FLAIR MRI.
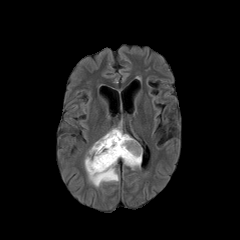
T1-weighted MR.
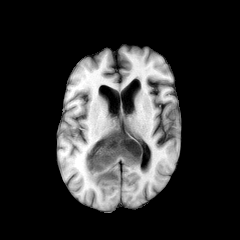
Post-contrast T1-weighted MR.
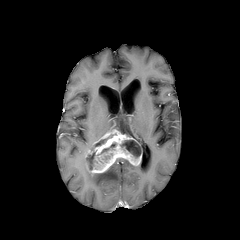
T2-weighted MRI.
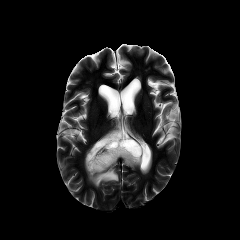
Head
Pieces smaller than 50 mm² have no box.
{
  "necrotic_tumor_core": [
    "87, 152, 94, 169",
    "121, 140, 141, 157"
  ],
  "enhancing_tumor": [
    "85, 129, 142, 174"
  ],
  "peritumoral_edema": [
    "110, 120, 122, 133",
    "123, 159, 140, 169",
    "86, 159, 119, 187"
  ]
}